240x240 px. Head.
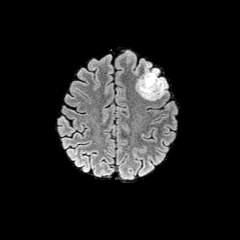
FLAIR MRI.
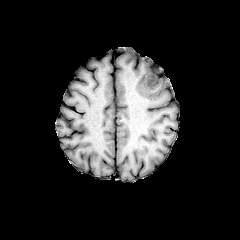
Same slice, T1-weighted MR.
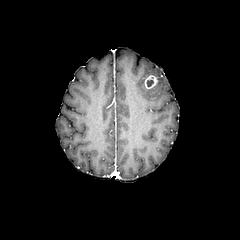
Post-contrast T1-weighted magnetic resonance.
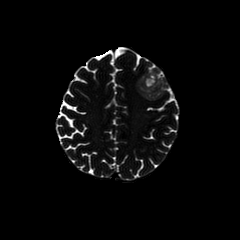
Same slice, T2-weighted magnetic resonance.
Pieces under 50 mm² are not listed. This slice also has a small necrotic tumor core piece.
enhancing tumor: <box>144,75,157,89</box> | peritumoral edema: <box>136,64,166,100</box>